FLAIR MR image.
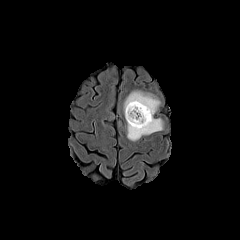
T1-weighted magnetic resonance.
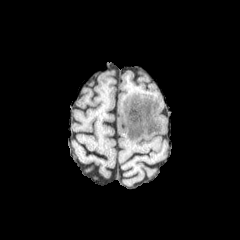
Post-contrast T1-weighted MR image.
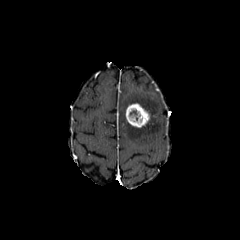
T2-weighted magnetic resonance.
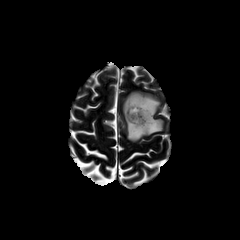
Head
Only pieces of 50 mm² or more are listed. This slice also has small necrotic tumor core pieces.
enhancing tumor: bounding box <bbox>125, 103, 150, 127</bbox>
peritumoral edema: bounding box <bbox>123, 91, 163, 141</bbox>